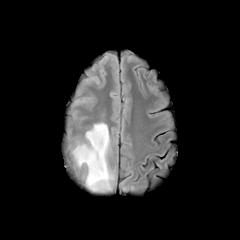
FLAIR MRI.
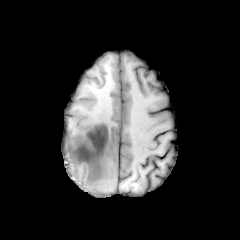
T1-weighted MR of the same slice.
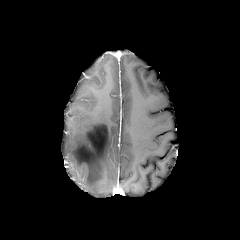
Post-contrast T1-weighted MR image.
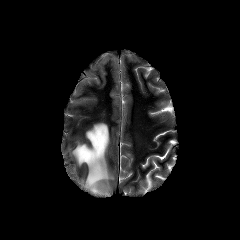
Same slice, T2-weighted MR image.
Brain, 240x240 px, Axial view
The peritumoral edema appears at x1=72, y1=123, x2=114, y2=191.